FLAIR magnetic resonance.
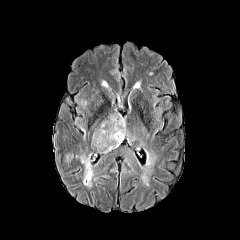
T1-weighted MR.
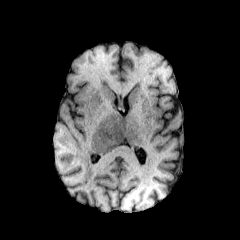
Post-contrast T1-weighted MR.
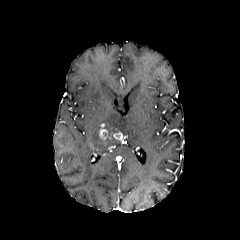
T2-weighted magnetic resonance.
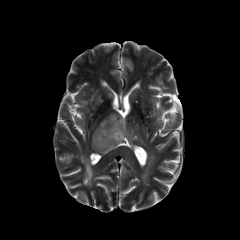
Axial plane
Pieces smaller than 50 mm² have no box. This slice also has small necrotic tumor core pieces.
enhancing tumor at 99, 123, 124, 143
peritumoral edema at 101, 109, 129, 135; 80, 155, 93, 187; 91, 124, 121, 154